FLAIR MR image.
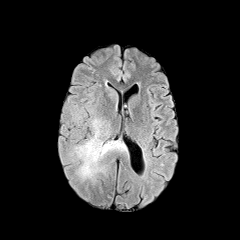
T1-weighted MRI.
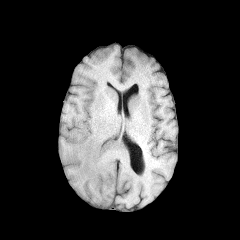
Post-contrast T1-weighted MR image.
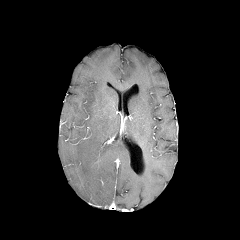
T2-weighted magnetic resonance.
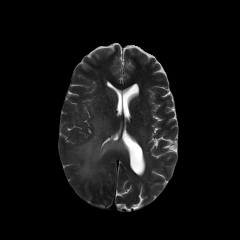
Axial view.
peritumoral edema: <bbox>72, 117, 126, 181</bbox>